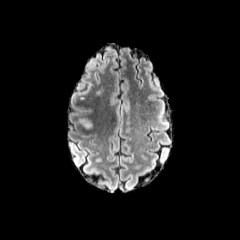
FLAIR MRI.
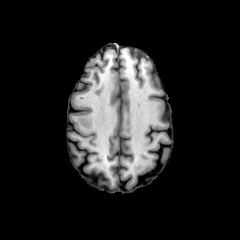
T1-weighted magnetic resonance.
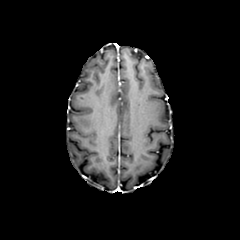
Same slice, post-contrast T1-weighted MR.
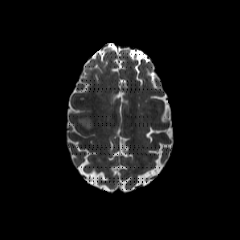
Same slice, T2-weighted magnetic resonance.
Head
The peritumoral edema appears at 77:116:94:130.